Image size 240x240, Head, Axial view, Slice index 31
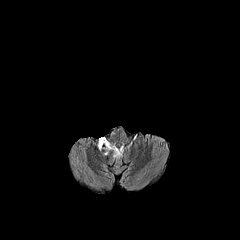
FLAIR MRI.
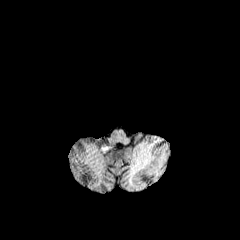
Same slice, T1-weighted MR.
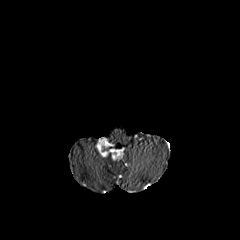
Post-contrast T1-weighted magnetic resonance.
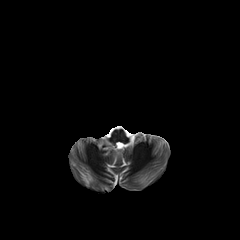
T2-weighted MR.
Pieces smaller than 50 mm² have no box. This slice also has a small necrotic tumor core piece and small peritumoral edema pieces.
enhancing tumor: bounding box <box>97,138,124,160</box>